FLAIR MR.
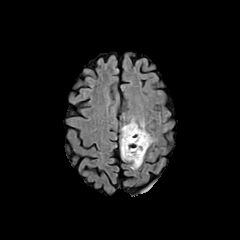
T1-weighted MRI.
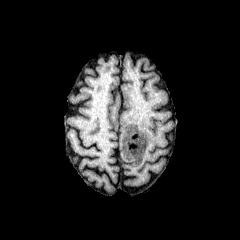
Post-contrast T1-weighted MR image.
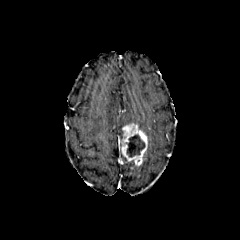
T2-weighted MR image.
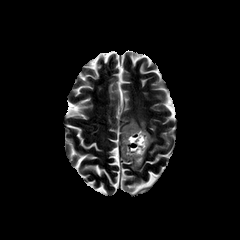
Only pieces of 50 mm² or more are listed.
The largest peritumoral edema region is at [138,119,155,146]. The necrotic tumor core is bounded by [126,135,144,157]. The enhancing tumor lies within [121,123,148,166].